FLAIR magnetic resonance.
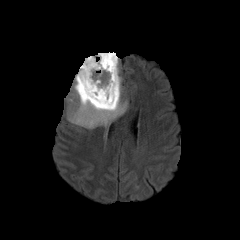
T1-weighted magnetic resonance.
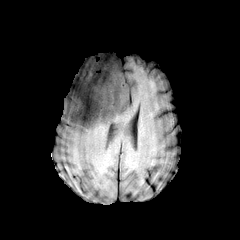
Post-contrast T1-weighted MR.
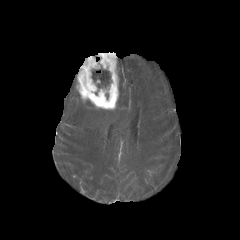
T2-weighted magnetic resonance.
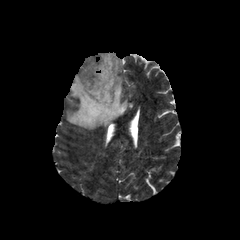
240x240 px. Head.
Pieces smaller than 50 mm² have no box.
enhancing tumor: [x1=76, y1=52, x2=118, y2=109]
necrotic tumor core: [x1=92, y1=66, x2=111, y2=88]
peritumoral edema: [x1=66, y1=57, x2=127, y2=129]